FLAIR MR image.
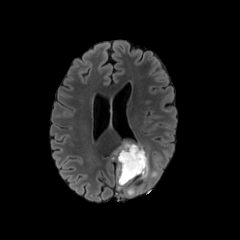
T1-weighted MRI.
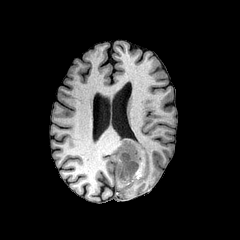
Post-contrast T1-weighted magnetic resonance.
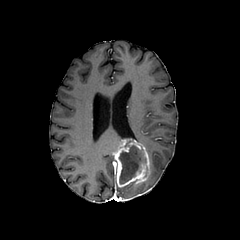
T2-weighted magnetic resonance.
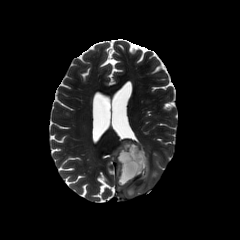
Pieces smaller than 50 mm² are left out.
<segmentation>
  <peritumoral_edema><box>146,170,159,181</box>, <box>126,186,136,195</box></peritumoral_edema>
  <enhancing_tumor><box>112,140,150,187</box></enhancing_tumor>
  <necrotic_tumor_core><box>119,145,142,183</box></necrotic_tumor_core>
</segmentation>